FLAIR MRI.
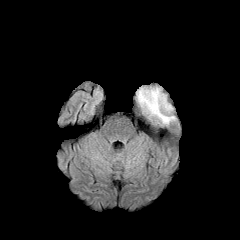
T1-weighted magnetic resonance.
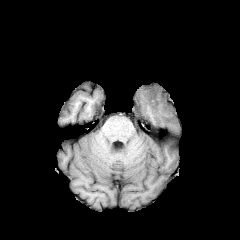
Post-contrast T1-weighted magnetic resonance.
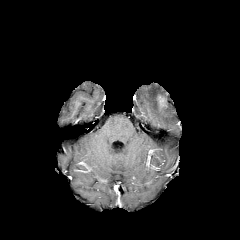
T2-weighted magnetic resonance.
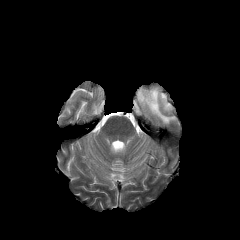
Axial plane. 240x240 px.
<segmentation>
  <peritumoral_edema>[136,87,176,124]</peritumoral_edema>
  <enhancing_tumor>[158,95,166,106]</enhancing_tumor>
</segmentation>